FLAIR MR.
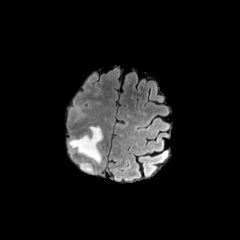
T1-weighted MR.
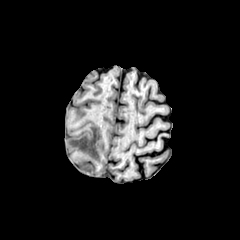
Post-contrast T1-weighted magnetic resonance.
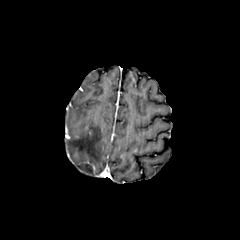
T2-weighted magnetic resonance.
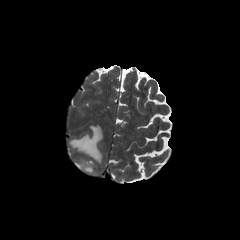
Brain
{
  "peritumoral_edema": [
    "80:164:92:173",
    "69:126:102:162"
  ]
}